Image width 240 mm, 1.00 mm slice spacing. Axial slice.
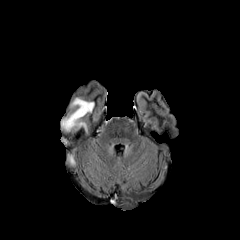
FLAIR MR.
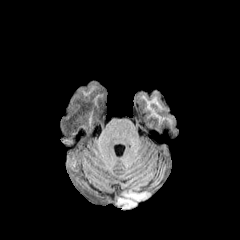
T1-weighted MRI of the same slice.
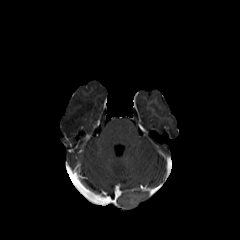
Post-contrast T1-weighted MRI of the same slice.
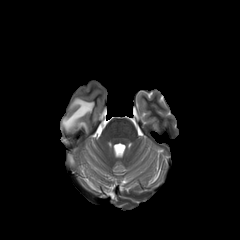
T2-weighted MR.
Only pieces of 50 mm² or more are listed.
Annotated regions:
- peritumoral edema: 61 98 94 130